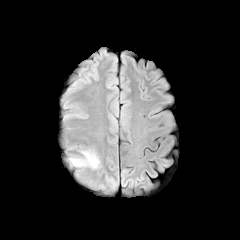
FLAIR MR.
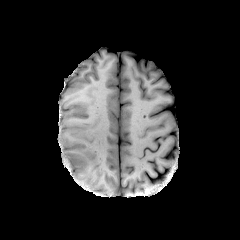
T1-weighted magnetic resonance.
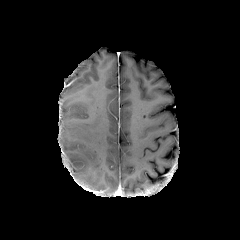
Post-contrast T1-weighted MR.
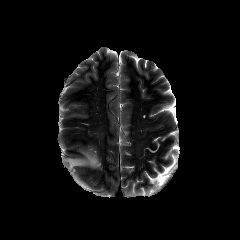
T2-weighted magnetic resonance.
Axial view
peritumoral edema at x1=69 y1=149 x2=99 y2=167